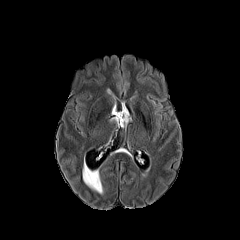
FLAIR MR.
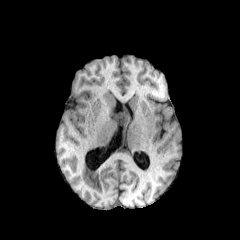
T1-weighted MR of the same slice.
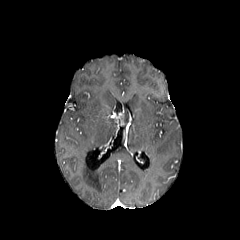
Same slice, post-contrast T1-weighted magnetic resonance.
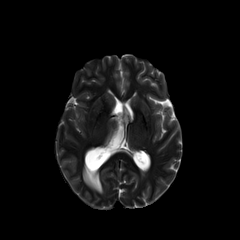
T2-weighted MR image of the same slice.
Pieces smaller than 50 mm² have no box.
peritumoral_edema:
  - x1=123 y1=107 x2=128 y2=123
enhancing_tumor:
  - x1=113 y1=110 x2=124 y2=126